FLAIR MR image.
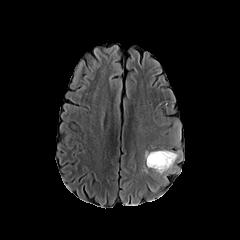
T1-weighted MR.
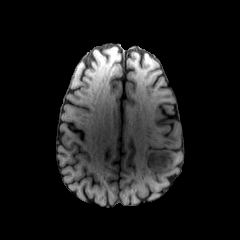
Post-contrast T1-weighted MR image.
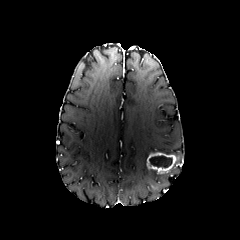
T2-weighted MRI.
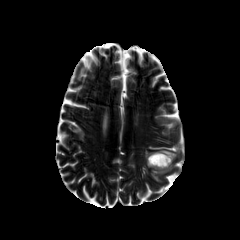
Head
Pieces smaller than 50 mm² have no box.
{"peritumoral_edema": ["<box>173,119,182,147</box>", "<box>144,148,183,162</box>", "<box>147,164,180,193</box>"], "necrotic_tumor_core": ["<box>149,155,172,167</box>"], "enhancing_tumor": ["<box>146,152,176,173</box>"]}